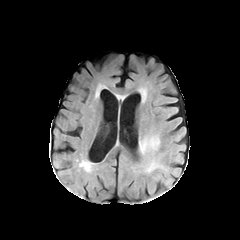
FLAIR magnetic resonance.
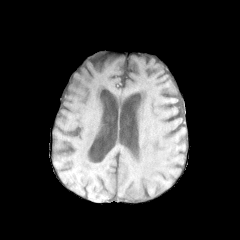
T1-weighted MR image.
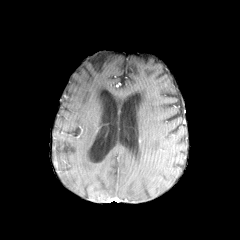
Post-contrast T1-weighted MRI.
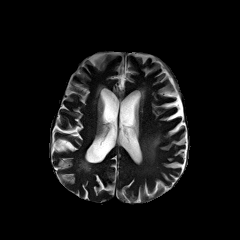
T2-weighted MR of the same slice.
The peritumoral edema is at (x1=140, y1=136, x2=159, y2=153).